Image width 240 mm.
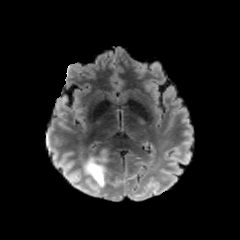
FLAIR MR.
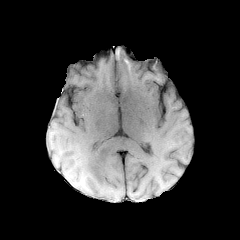
T1-weighted MR image.
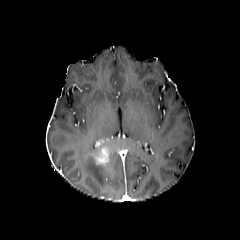
Same slice, post-contrast T1-weighted MR image.
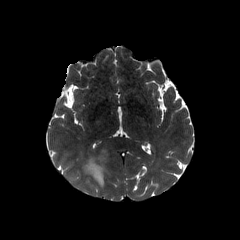
T2-weighted magnetic resonance.
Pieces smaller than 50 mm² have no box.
peritumoral_edema:
  - x1=82, y1=149, x2=108, y2=190
enhancing_tumor:
  - x1=96, y1=148, x2=109, y2=164